FLAIR magnetic resonance.
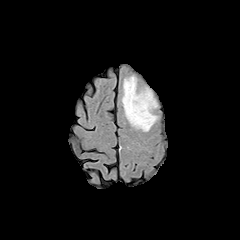
T1-weighted MR.
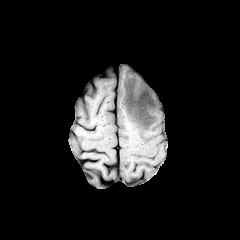
Post-contrast T1-weighted magnetic resonance.
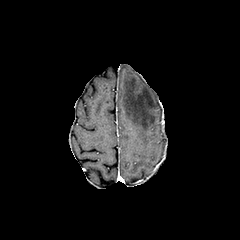
T2-weighted MR.
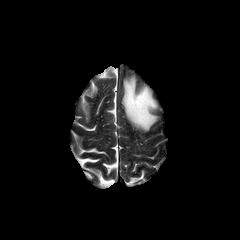
Head. Axial slice.
Findings:
- peritumoral edema: left=122, top=76, right=157, bottom=131